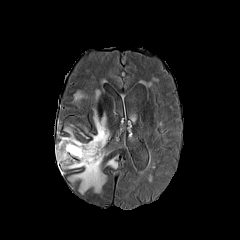
FLAIR magnetic resonance.
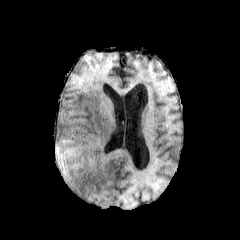
T1-weighted MR image of the same slice.
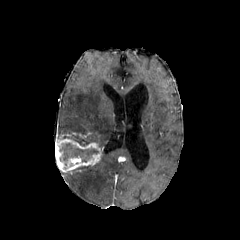
Post-contrast T1-weighted MR.
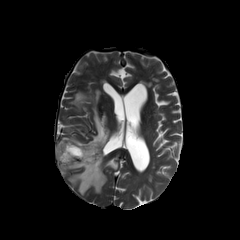
T2-weighted MRI.
Axial view, Brain
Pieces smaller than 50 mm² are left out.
Annotated regions:
* necrotic tumor core: bbox(59, 143, 98, 161)
* enhancing tumor: bbox(55, 138, 102, 172)
* peritumoral edema: bbox(91, 110, 108, 147); bbox(106, 158, 117, 168); bbox(69, 152, 105, 193); bbox(62, 129, 86, 144)